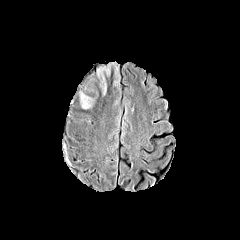
FLAIR MR.
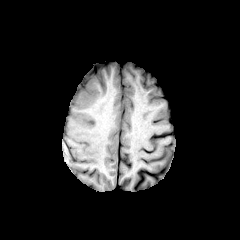
T1-weighted magnetic resonance.
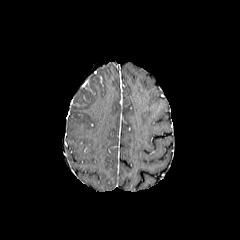
Post-contrast T1-weighted MR of the same slice.
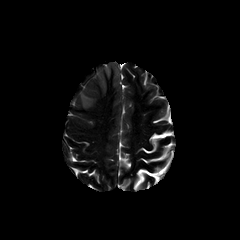
T2-weighted MRI.
peritumoral edema: bbox=[98, 62, 119, 95]; bbox=[79, 75, 99, 108]